FLAIR magnetic resonance.
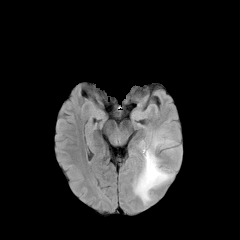
T1-weighted MR image.
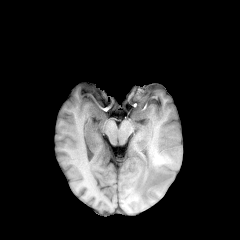
Post-contrast T1-weighted MR.
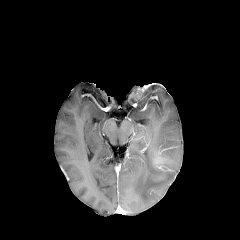
T2-weighted MR image.
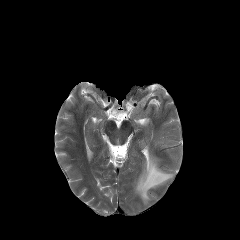
240x240 px, Head, Axial view
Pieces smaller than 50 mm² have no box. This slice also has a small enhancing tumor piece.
peritumoral edema at <box>134,138,181,205</box>